FLAIR MR image.
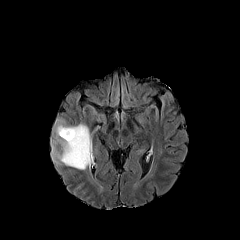
T1-weighted MR.
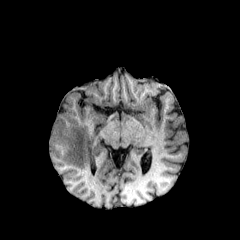
Post-contrast T1-weighted MRI.
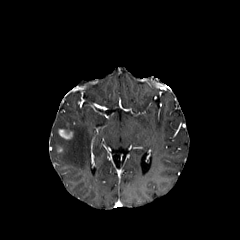
T2-weighted MRI.
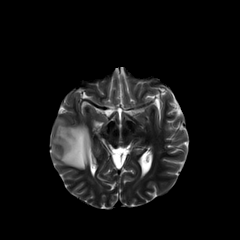
Head
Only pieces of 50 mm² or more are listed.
• peritumoral edema: region(50, 118, 91, 169)
• enhancing tumor: region(58, 129, 73, 139)